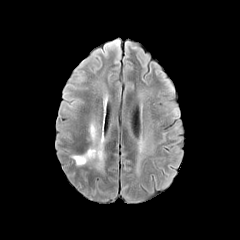
FLAIR MR.
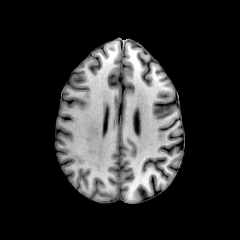
T1-weighted MRI.
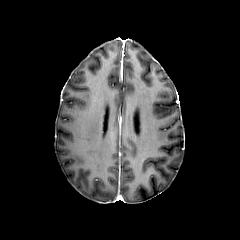
Post-contrast T1-weighted magnetic resonance of the same slice.
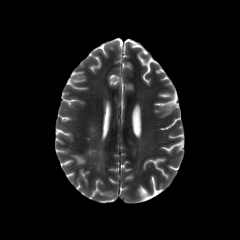
T2-weighted MR.
Head
2 peritumoral edema regions are located at (73,149,103,165), (90,124,95,136).